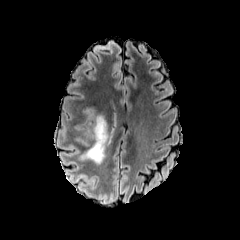
FLAIR MRI.
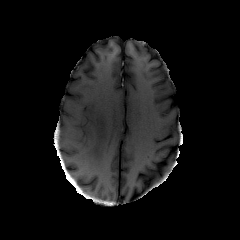
T1-weighted magnetic resonance.
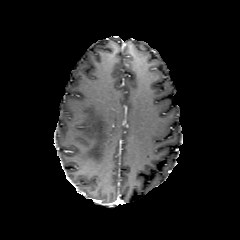
Post-contrast T1-weighted MR.
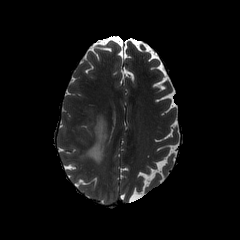
T2-weighted MRI.
Brain
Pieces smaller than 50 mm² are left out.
The largest peritumoral edema region is at [79,115,107,164].